Head. Axial plane.
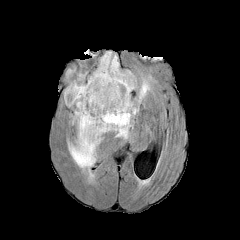
FLAIR magnetic resonance.
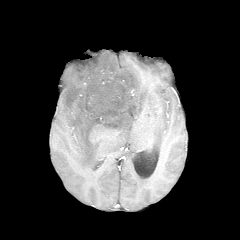
Same slice, T1-weighted MR.
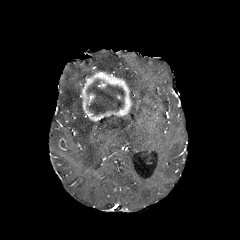
Post-contrast T1-weighted MR.
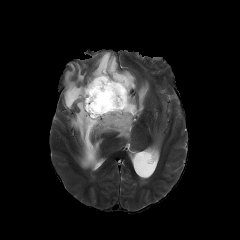
T2-weighted MR image.
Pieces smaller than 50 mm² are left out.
The largest enhancing tumor region appears at (x1=80, y1=71, x2=132, y2=121). The necrotic tumor core lies within (x1=87, y1=80, x2=124, y2=114). 2 peritumoral edema regions appear at (x1=91, y1=51, x2=136, y2=92), (x1=63, y1=68, x2=149, y2=169).